Brain
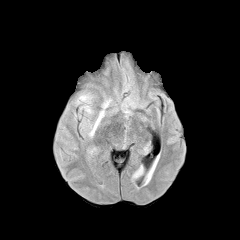
FLAIR MRI.
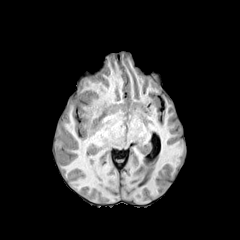
Same slice, T1-weighted MR.
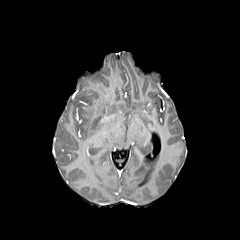
Post-contrast T1-weighted magnetic resonance.
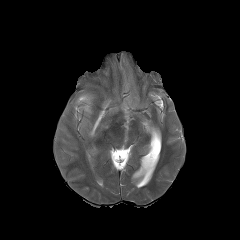
T2-weighted MRI.
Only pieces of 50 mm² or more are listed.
The 2 largest peritumoral edema regions are bounded by x1=79 y1=95 x2=89 y2=101, x1=90 y1=110 x2=104 y2=135.